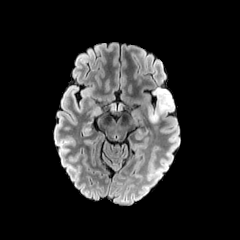
FLAIR MR image.
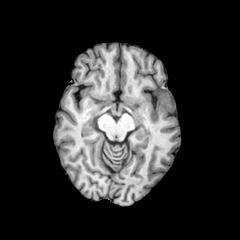
T1-weighted magnetic resonance.
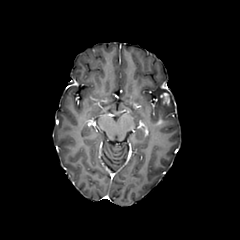
Same slice, post-contrast T1-weighted MR.
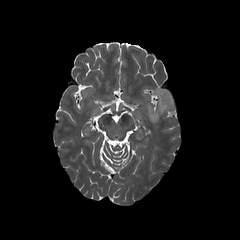
Same slice, T2-weighted magnetic resonance.
Axial view
peritumoral edema = 147,87,174,123
enhancing tumor = 159,90,172,107